Axial view | Slice index 77
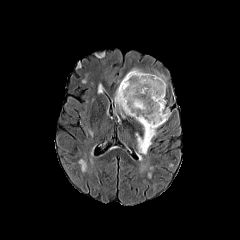
FLAIR MR image.
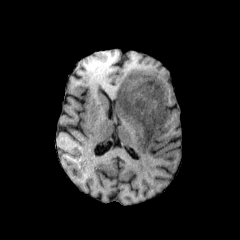
T1-weighted magnetic resonance of the same slice.
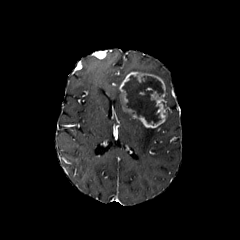
Post-contrast T1-weighted magnetic resonance.
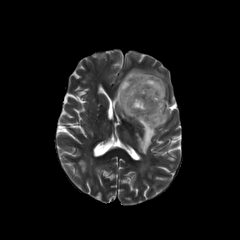
Same slice, T2-weighted MR.
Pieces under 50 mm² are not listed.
Segmented structures:
• enhancing tumor: [119,71,169,128]
• necrotic tumor core: [122,75,163,122]
• peritumoral edema: [130,68,166,88], [114,87,124,117], [136,125,156,154]